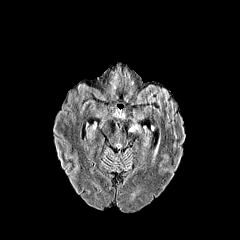
FLAIR MR image.
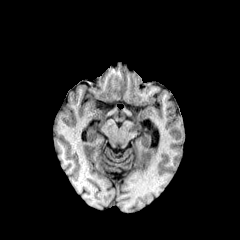
T1-weighted magnetic resonance of the same slice.
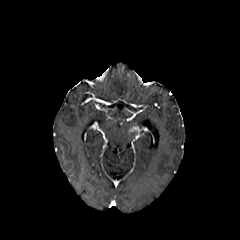
Post-contrast T1-weighted MRI of the same slice.
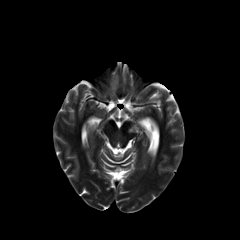
T2-weighted MR image.
Axial plane
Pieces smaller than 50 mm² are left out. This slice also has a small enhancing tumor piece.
Annotated regions:
• peritumoral edema: left=111, top=74, right=117, bottom=89